FLAIR magnetic resonance.
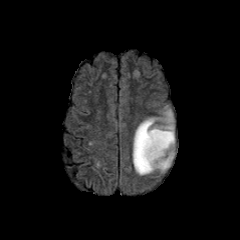
T1-weighted MR.
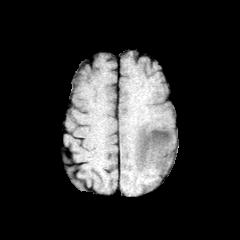
Post-contrast T1-weighted MR image.
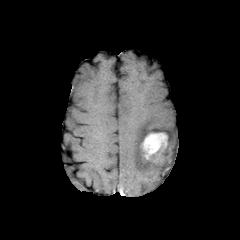
T2-weighted MR image.
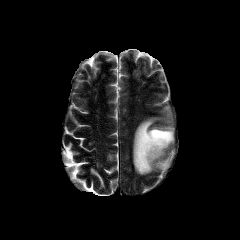
Axial slice
The enhancing tumor lies within rect(140, 132, 168, 164). The peritumoral edema lies within rect(132, 106, 174, 175).